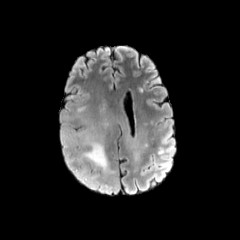
FLAIR MR image.
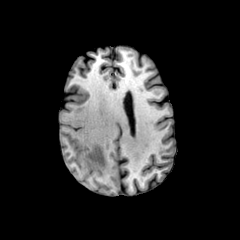
Same slice, T1-weighted MRI.
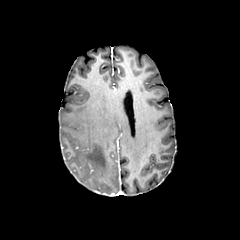
Same slice, post-contrast T1-weighted magnetic resonance.
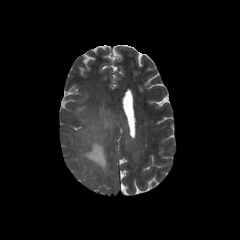
T2-weighted MR.
3 peritumoral edema regions are bounded by x1=77, y1=165, x2=89, y2=178; x1=85, y1=174, x2=97, y2=183; x1=73, y1=124, x2=114, y2=176.